FLAIR MRI.
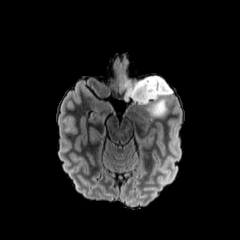
T1-weighted magnetic resonance.
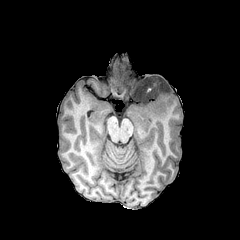
Post-contrast T1-weighted MR image.
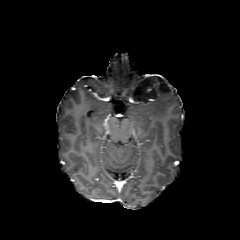
T2-weighted MRI.
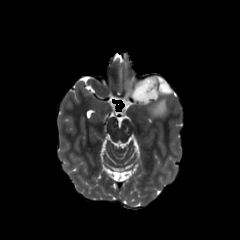
Head
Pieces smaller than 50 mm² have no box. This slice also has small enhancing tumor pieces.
Segmented structures:
• peritumoral edema: box=[120, 73, 172, 117]